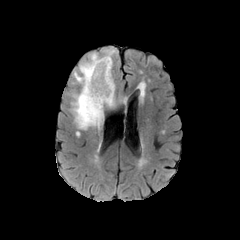
FLAIR MR.
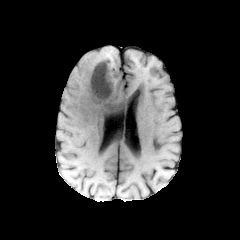
T1-weighted MR image of the same slice.
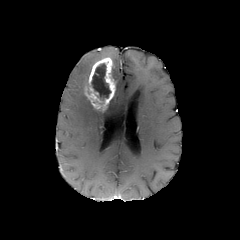
Same slice, post-contrast T1-weighted MR.
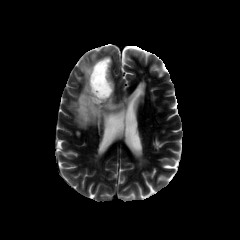
T2-weighted MRI.
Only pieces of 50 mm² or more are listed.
Findings:
• necrotic tumor core: bbox(91, 64, 110, 99)
• peritumoral edema: bbox(107, 95, 116, 108); bbox(70, 48, 115, 131)
• enhancing tumor: bbox(84, 57, 115, 111)